FLAIR MR.
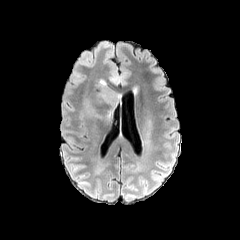
T1-weighted MRI.
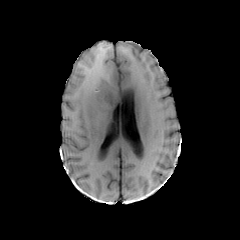
Post-contrast T1-weighted MR image.
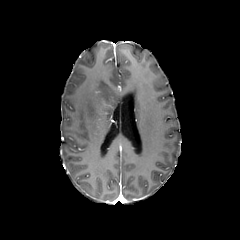
T2-weighted magnetic resonance.
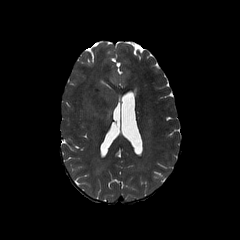
240x240 px.
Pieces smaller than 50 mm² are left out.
<segmentation>
  <peritumoral_edema>(85, 79, 118, 120)</peritumoral_edema>
</segmentation>